Head
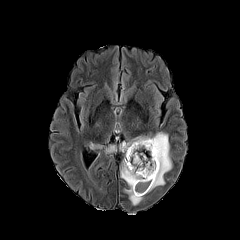
FLAIR magnetic resonance.
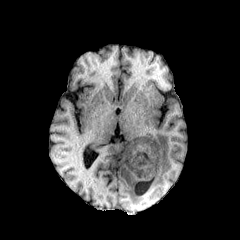
T1-weighted MR image of the same slice.
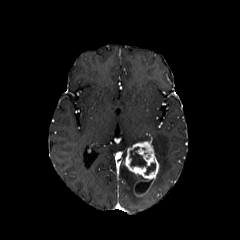
Post-contrast T1-weighted MR.
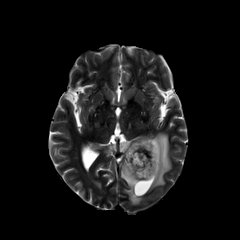
T2-weighted MR of the same slice.
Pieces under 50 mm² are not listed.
{
  "enhancing_tumor": [
    "(x1=124, y1=138, x2=159, y2=196)"
  ],
  "necrotic_tumor_core": [
    "(x1=130, y1=147, x2=146, y2=166)",
    "(x1=145, y1=163, x2=155, y2=174)",
    "(x1=135, y1=179, x2=152, y2=194)"
  ],
  "peritumoral_edema": [
    "(x1=148, y1=132, x2=171, y2=191)",
    "(x1=91, y1=146, x2=116, y2=152)",
    "(x1=119, y1=136, x2=150, y2=151)",
    "(x1=121, y1=165, x2=147, y2=205)"
  ]
}